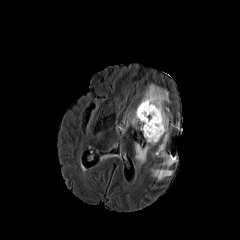
FLAIR MR image.
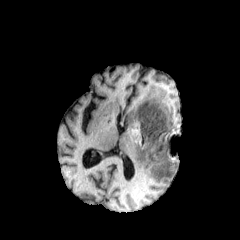
T1-weighted MR image.
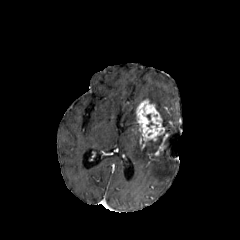
Same slice, post-contrast T1-weighted MR image.
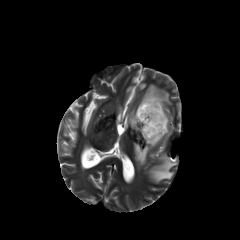
Same slice, T2-weighted magnetic resonance.
Brain
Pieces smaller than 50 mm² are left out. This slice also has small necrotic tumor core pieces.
peritumoral edema at box=[151, 149, 177, 180]; box=[135, 84, 169, 164]; box=[129, 111, 137, 127]
enhancing tumor at box=[136, 99, 165, 141]; box=[155, 133, 168, 155]